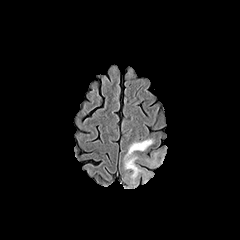
FLAIR MRI.
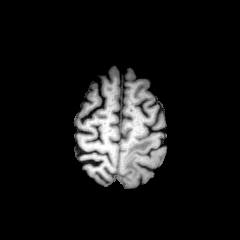
T1-weighted magnetic resonance.
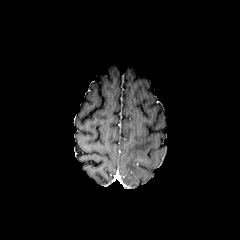
Same slice, post-contrast T1-weighted magnetic resonance.
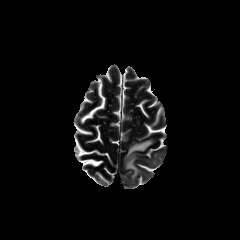
Same slice, T2-weighted magnetic resonance.
Brain
2 peritumoral edema regions are located at <box>123,139,153,185</box>, <box>148,153,157,165</box>.